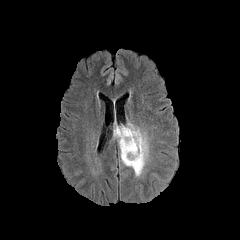
FLAIR MRI.
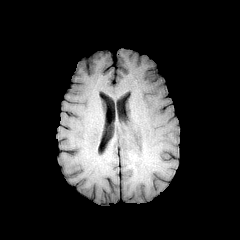
T1-weighted magnetic resonance.
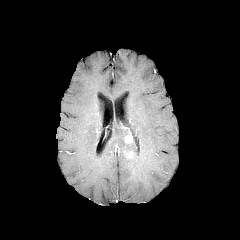
Post-contrast T1-weighted MRI of the same slice.
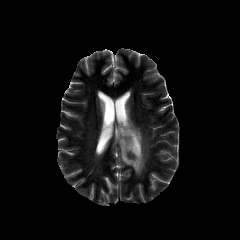
T2-weighted MR.
Brain
peritumoral edema: (left=114, top=122, right=148, bottom=176)